FLAIR MR image.
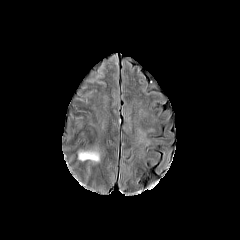
T1-weighted MR image.
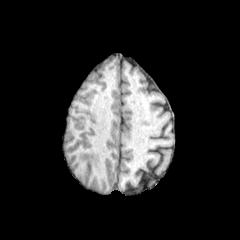
Post-contrast T1-weighted magnetic resonance.
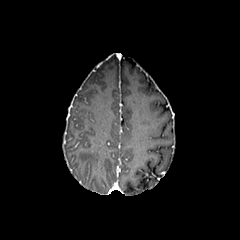
T2-weighted MR image.
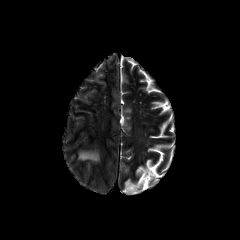
240x240. Head. Axial view.
peritumoral edema: 78, 151, 99, 161